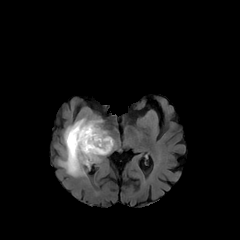
FLAIR MR image.
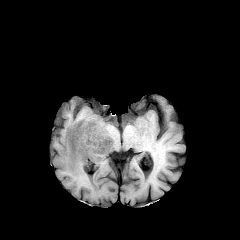
T1-weighted MRI.
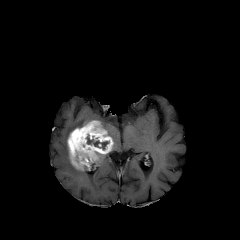
Post-contrast T1-weighted magnetic resonance.
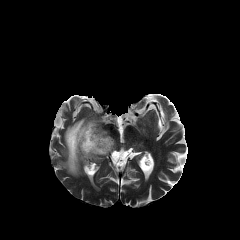
T2-weighted MR.
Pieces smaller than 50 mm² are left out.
peritumoral edema at [58,117,102,176]
necrotic tumor core at [87,136,110,150]
enhancing tumor at [67,120,113,170]